Axial slice. Brain.
FLAIR MR.
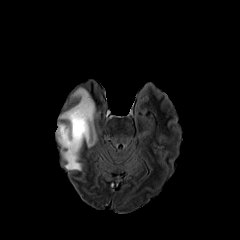
T1-weighted MR image.
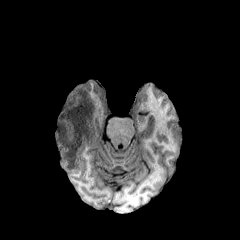
Post-contrast T1-weighted MRI.
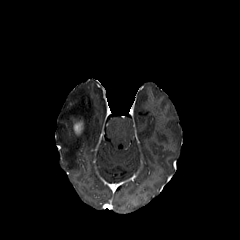
T2-weighted MRI.
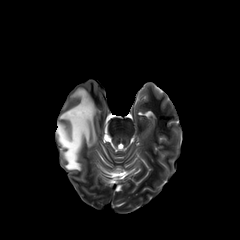
enhancing tumor at bbox=[73, 121, 83, 134]
peritumoral edema at bbox=[56, 88, 96, 170]